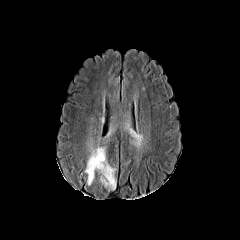
FLAIR MR image.
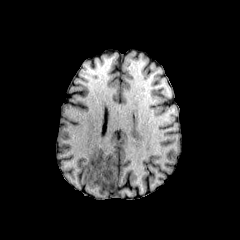
T1-weighted MR image of the same slice.
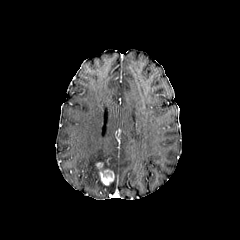
Post-contrast T1-weighted MRI of the same slice.
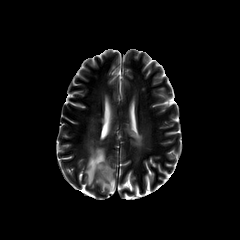
T2-weighted MR of the same slice.
Brain; Axial plane; 240x240
{
  "enhancing_tumor": [
    "96,162,114,185"
  ],
  "peritumoral_edema": [
    "105,178,116,190",
    "85,142,115,185",
    "126,124,144,145"
  ]
}